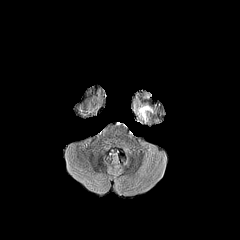
FLAIR MRI.
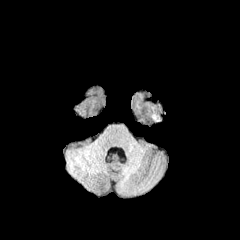
T1-weighted MR image.
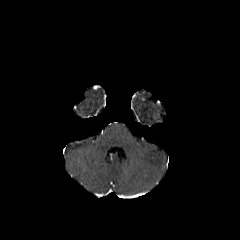
Post-contrast T1-weighted MRI.
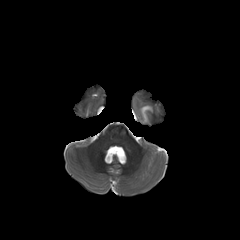
T2-weighted MR of the same slice.
Axial view; 240x240 px
peritumoral_edema:
  - x1=137, y1=105, x2=152, y2=122